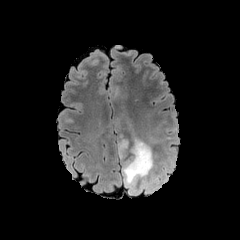
FLAIR MR image.
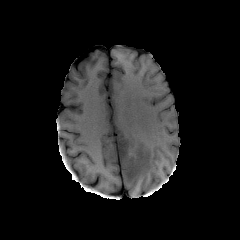
Same slice, T1-weighted MR image.
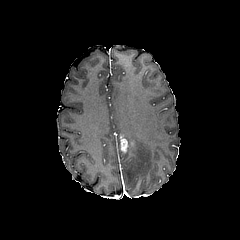
Post-contrast T1-weighted MR image.
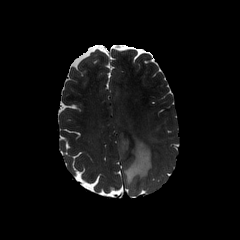
T2-weighted magnetic resonance of the same slice.
Axial slice; Head
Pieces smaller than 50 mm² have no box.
peritumoral edema — <box>117,138,163,194</box>
enhancing tumor — <box>119,135,128,152</box>